Axial view
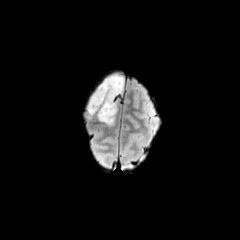
FLAIR magnetic resonance.
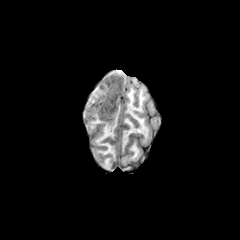
T1-weighted MRI.
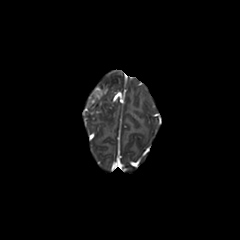
Same slice, post-contrast T1-weighted MR.
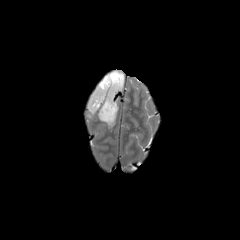
T2-weighted MR.
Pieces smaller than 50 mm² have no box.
The enhancing tumor is bounded by (left=87, top=85, right=119, bottom=114). The 2 largest peritumoral edema regions appear at (left=89, top=98, right=117, bottom=125), (left=99, top=73, right=123, bottom=92).